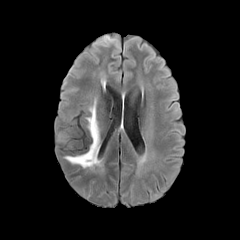
FLAIR magnetic resonance.
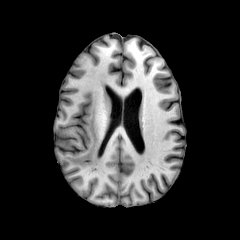
T1-weighted MRI.
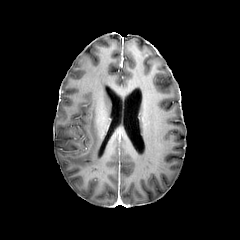
Same slice, post-contrast T1-weighted MRI.
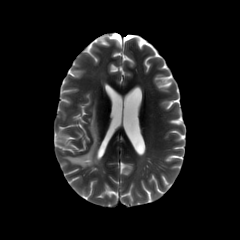
T2-weighted MR image of the same slice.
Axial slice; 240x240 px; Brain
The peritumoral edema lies within 64, 106, 101, 168.